FLAIR MR image.
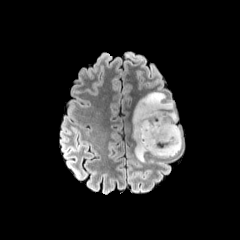
T1-weighted MR image.
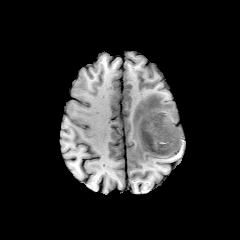
Post-contrast T1-weighted MR image.
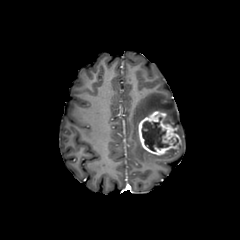
T2-weighted magnetic resonance.
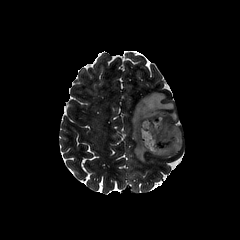
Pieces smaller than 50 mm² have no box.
The 2 largest peritumoral edema regions appear at x1=151, y1=144, x2=181, y2=157; x1=132, y1=92, x2=181, y2=162. The enhancing tumor is bounded by x1=138, y1=111, x2=181, y2=155. The largest necrotic tumor core region is located at x1=141, y1=121, x2=169, y2=151.